Slice index 58, 240x240 px, Head, Axial plane
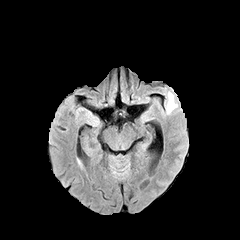
FLAIR MR.
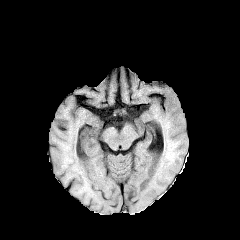
T1-weighted MRI of the same slice.
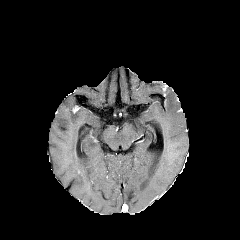
Post-contrast T1-weighted MR image.
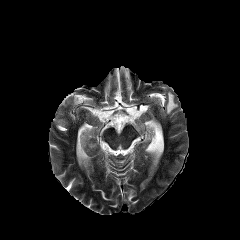
T2-weighted MR of the same slice.
peritumoral edema: bounding box bbox(165, 91, 178, 114)